Head. Slice 60/155. Image covers 240 mm x 240 mm.
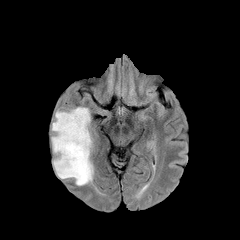
FLAIR MR.
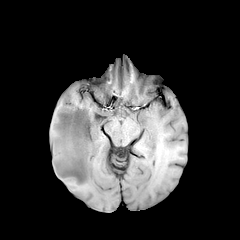
T1-weighted MR.
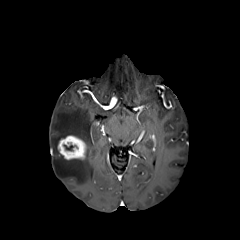
Same slice, post-contrast T1-weighted magnetic resonance.
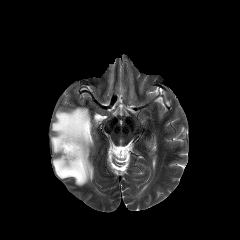
T2-weighted MR image.
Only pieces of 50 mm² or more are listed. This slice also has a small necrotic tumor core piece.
Segmented structures:
• enhancing tumor: x1=57 y1=135 x2=87 y2=159
• peritumoral edema: x1=51 y1=107 x2=93 y2=185